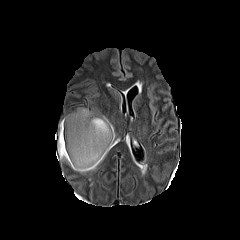
FLAIR MRI.
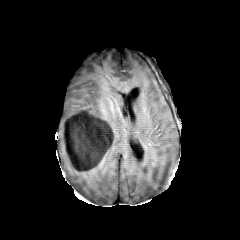
T1-weighted MR image of the same slice.
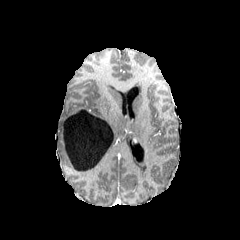
Same slice, post-contrast T1-weighted MR image.
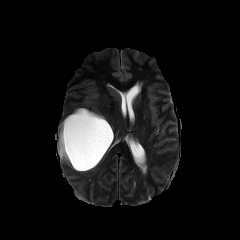
Same slice, T2-weighted MR image.
Axial view.
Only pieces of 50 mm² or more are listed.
The largest peritumoral edema region lies within 57 107 116 173. The necrotic tumor core appears at 60 109 113 170.